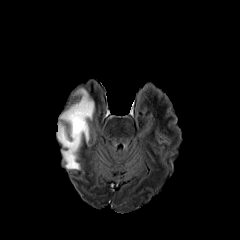
FLAIR MRI.
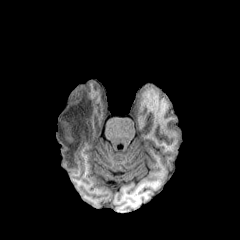
T1-weighted MR of the same slice.
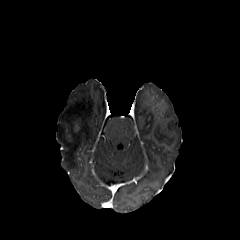
Post-contrast T1-weighted MR image of the same slice.
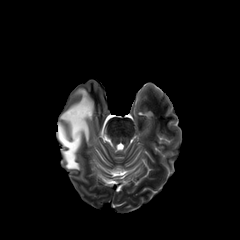
T2-weighted MRI of the same slice.
240x240; Brain
The peritumoral edema appears at (x1=57, y1=88, x2=94, y2=169).